Axial slice
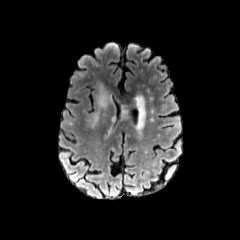
FLAIR MR image.
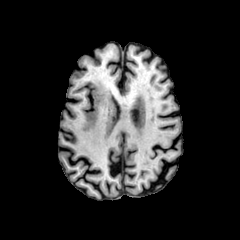
Same slice, T1-weighted MR image.
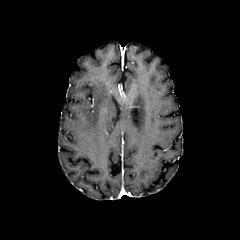
Post-contrast T1-weighted MRI.
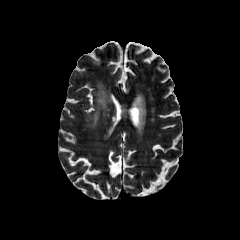
T2-weighted MR image of the same slice.
peritumoral edema: l=91, t=83, r=111, b=126